FLAIR MR.
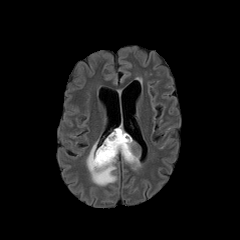
T1-weighted magnetic resonance.
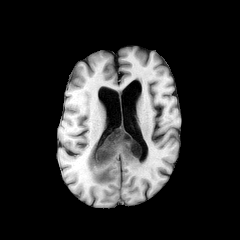
Post-contrast T1-weighted MR.
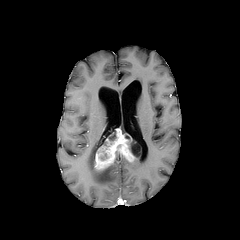
T2-weighted MR.
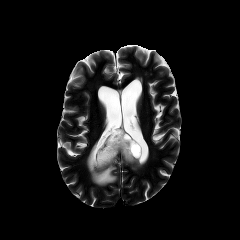
Axial view
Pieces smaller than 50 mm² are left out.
Segmented structures:
• enhancing tumor: [94, 128, 141, 170]
• necrotic tumor core: [130, 142, 139, 157]
• peritumoral edema: [122, 156, 141, 169], [86, 140, 119, 185]